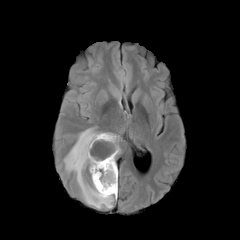
FLAIR MRI.
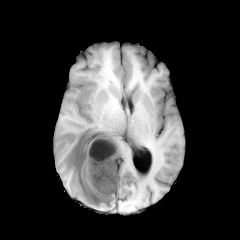
T1-weighted MR of the same slice.
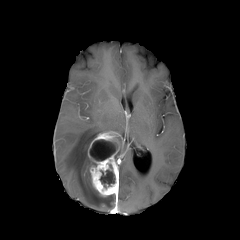
Same slice, post-contrast T1-weighted MRI.
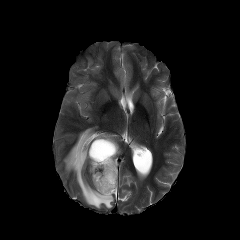
T2-weighted magnetic resonance of the same slice.
240x240
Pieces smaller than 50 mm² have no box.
enhancing_tumor:
  - box=[88, 132, 119, 196]
peritumoral_edema:
  - box=[64, 127, 115, 208]
necrotic_tumor_core:
  - box=[89, 139, 117, 160]
  - box=[100, 170, 115, 187]